FLAIR MRI.
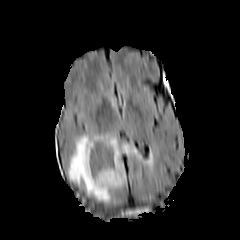
T1-weighted MR.
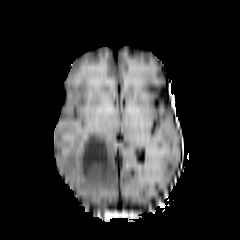
Post-contrast T1-weighted MRI.
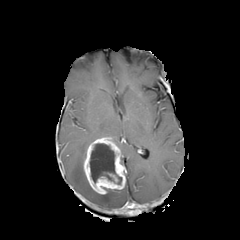
T2-weighted MR.
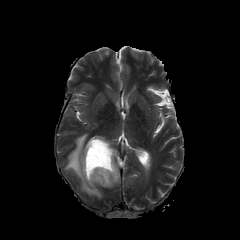
Axial view | Head
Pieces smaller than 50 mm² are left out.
peritumoral_edema:
  - [x1=67, y1=134, x2=138, y2=202]
enhancing_tumor:
  - [x1=83, y1=137, x2=125, y2=194]
necrotic_tumor_core:
  - [x1=89, y1=143, x2=121, y2=184]